Head
FLAIR MR image.
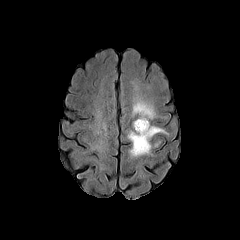
T1-weighted MR.
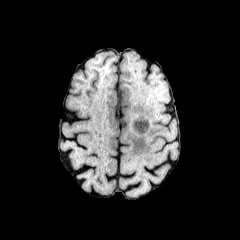
Post-contrast T1-weighted MRI.
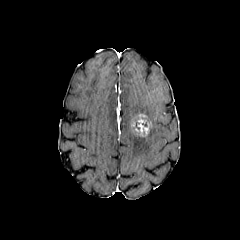
T2-weighted MR image.
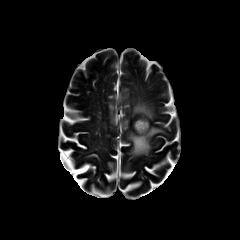
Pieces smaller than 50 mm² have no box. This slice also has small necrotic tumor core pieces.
The enhancing tumor is bounded by <box>131,113,151,136</box>. 2 peritumoral edema regions are bounded by <box>132,97,155,120</box>, <box>128,126,165,156</box>.